240x240 px. Axial plane. Slice index 94. Brain.
FLAIR MR image.
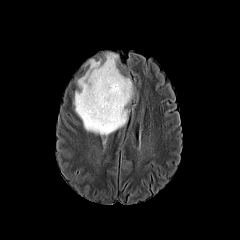
T1-weighted MR image.
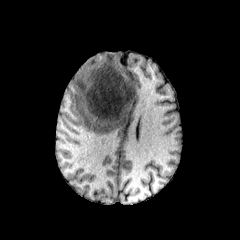
Post-contrast T1-weighted magnetic resonance.
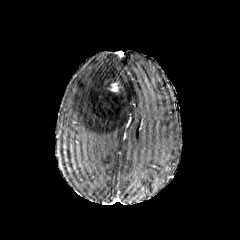
T2-weighted MRI.
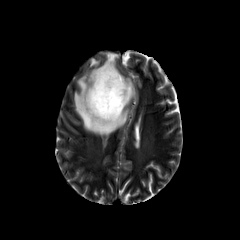
<segmentation>
  <peritumoral_edema>{"x1": 74, "y1": 53, "x2": 134, "y2": 136}</peritumoral_edema>
  <enhancing_tumor>{"x1": 109, "y1": 82, "x2": 119, "y2": 91}</enhancing_tumor>
  <necrotic_tumor_core>{"x1": 104, "y1": 77, "x2": 122, "y2": 95}</necrotic_tumor_core>
</segmentation>